Image covers 240 mm x 240 mm
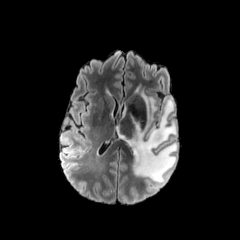
FLAIR MR image.
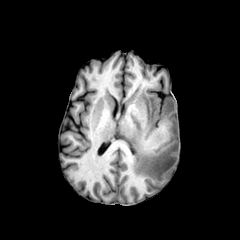
Same slice, T1-weighted magnetic resonance.
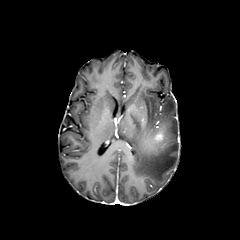
Post-contrast T1-weighted magnetic resonance.
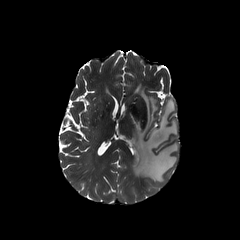
T2-weighted magnetic resonance of the same slice.
<segmentation>
  <enhancing_tumor>box=[147, 129, 164, 147]</enhancing_tumor>
  <peritumoral_edema>box=[118, 92, 178, 184]</peritumoral_edema>
</segmentation>